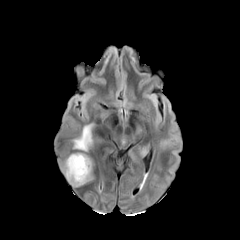
FLAIR MRI.
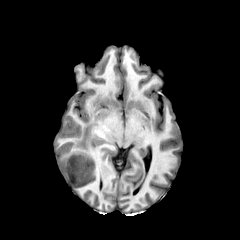
Same slice, T1-weighted MR image.
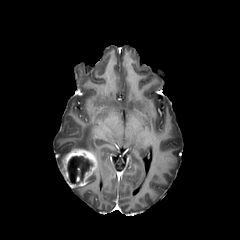
Post-contrast T1-weighted MR image.
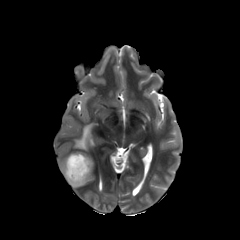
Same slice, T2-weighted magnetic resonance.
Image size 240x240 | Head
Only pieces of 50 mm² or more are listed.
necrotic tumor core = region(67, 156, 93, 184)
enhancing tumor = region(61, 149, 96, 187)
peritumoral edema = region(73, 125, 92, 150)